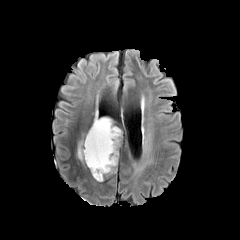
FLAIR MR.
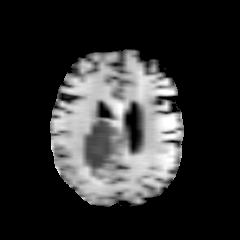
T1-weighted MRI of the same slice.
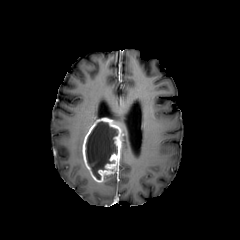
Same slice, post-contrast T1-weighted MR image.
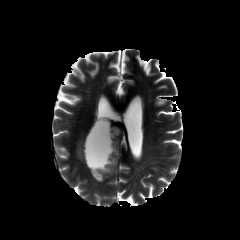
T2-weighted magnetic resonance of the same slice.
Axial plane. Head.
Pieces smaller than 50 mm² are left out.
{
  "enhancing_tumor": [
    "(82,117,124,182)"
  ],
  "necrotic_tumor_core": [
    "(85,122,117,179)"
  ],
  "peritumoral_edema": [
    "(78,141,82,160)"
  ]
}